FLAIR MR.
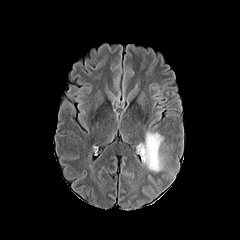
T1-weighted magnetic resonance.
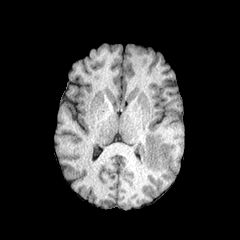
Post-contrast T1-weighted magnetic resonance.
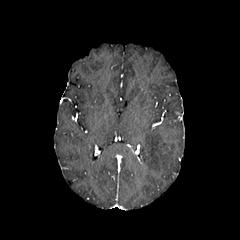
T2-weighted MR image.
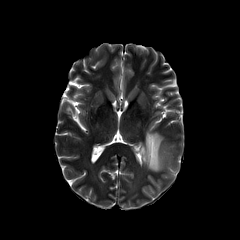
Axial slice. Head.
peritumoral edema: 140, 131, 163, 171